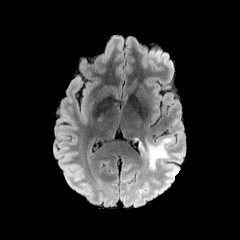
FLAIR magnetic resonance.
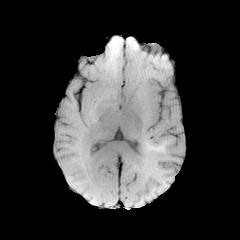
T1-weighted MR.
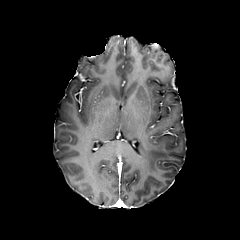
Post-contrast T1-weighted MR.
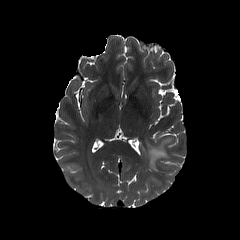
Same slice, T2-weighted magnetic resonance.
240x240 | Head | Axial slice
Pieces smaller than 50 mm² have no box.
* peritumoral edema: <box>145,137,174,170</box>